Brain, 240x240 px, Axial plane
FLAIR MR.
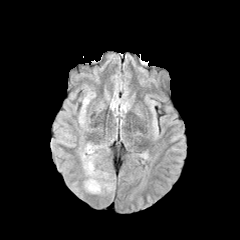
T1-weighted MRI.
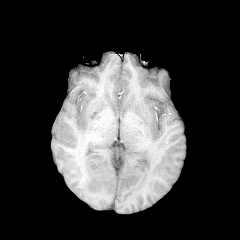
Post-contrast T1-weighted magnetic resonance.
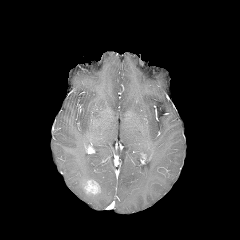
T2-weighted magnetic resonance.
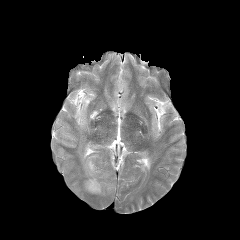
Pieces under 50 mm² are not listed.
Segmented structures:
- enhancing tumor: 84:180:100:193
- peritumoral edema: 81:143:114:193